Slice 73 of 155.
FLAIR magnetic resonance.
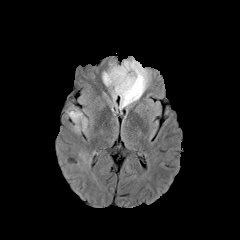
T1-weighted MR.
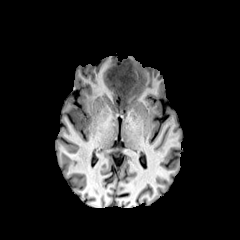
Post-contrast T1-weighted magnetic resonance.
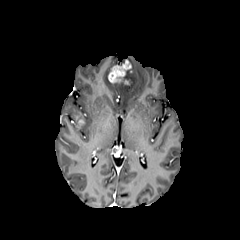
T2-weighted magnetic resonance.
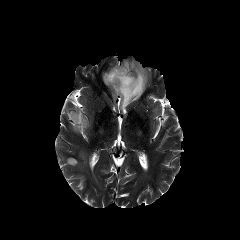
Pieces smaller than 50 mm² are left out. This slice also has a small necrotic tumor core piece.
The 2 largest enhancing tumor regions appear at left=108, top=60, right=131, bottom=84; left=77, top=118, right=84, bottom=127. The 2 largest peritumoral edema regions are bounded by left=102, top=58, right=149, bottom=109; left=69, top=111, right=87, bottom=130.